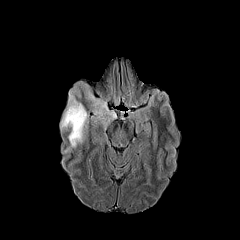
FLAIR magnetic resonance.
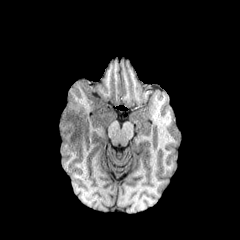
Same slice, T1-weighted MR image.
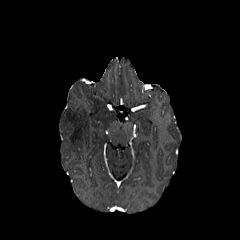
Post-contrast T1-weighted MRI.
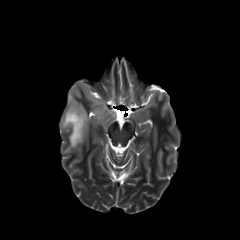
T2-weighted MR.
Axial slice | Image size 240x240
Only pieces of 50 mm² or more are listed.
Annotated regions:
- peritumoral edema: [60,89,88,152], [87,92,113,124]